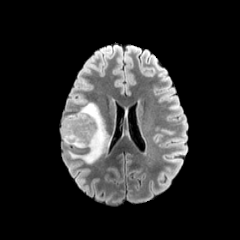
FLAIR MR image.
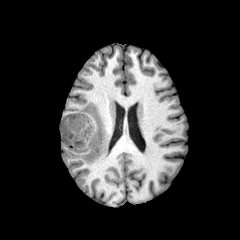
T1-weighted magnetic resonance of the same slice.
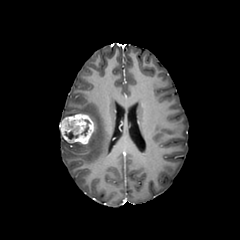
Post-contrast T1-weighted MR.
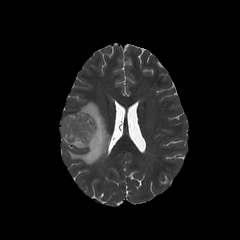
T2-weighted magnetic resonance of the same slice.
240x240 px, Brain
<segmentation>
  <necrotic_tumor_core>[x1=65, y1=131, x2=78, y2=139], [x1=81, y1=119, x2=91, y2=135]</necrotic_tumor_core>
  <enhancing_tumor>[x1=60, y1=113, x2=94, y2=144]</enhancing_tumor>
  <peritumoral_edema>[x1=62, y1=102, x2=109, y2=164]</peritumoral_edema>
</segmentation>